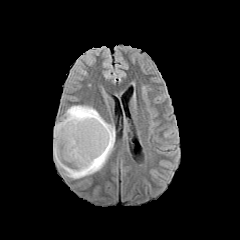
FLAIR MR.
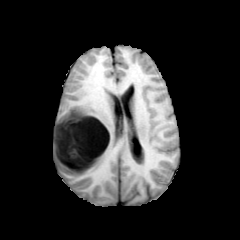
T1-weighted MRI of the same slice.
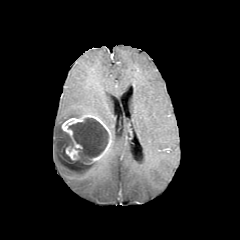
Post-contrast T1-weighted magnetic resonance of the same slice.
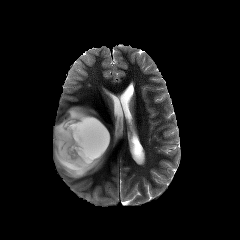
T2-weighted MR image of the same slice.
Axial plane
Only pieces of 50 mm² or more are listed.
* enhancing tumor: [60,114,111,164]
* peritumoral edema: [53,105,115,179]
* necrotic tumor core: [62,147,73,161], [68,117,108,162]